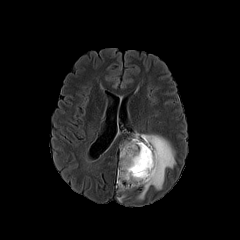
FLAIR magnetic resonance.
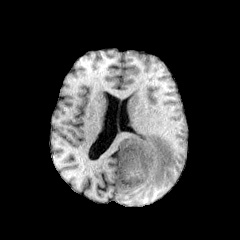
T1-weighted magnetic resonance of the same slice.
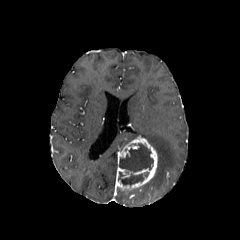
Post-contrast T1-weighted MR image.
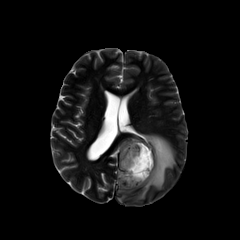
T2-weighted magnetic resonance.
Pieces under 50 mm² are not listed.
<segmentation>
  <enhancing_tumor>116,136,157,190</enhancing_tumor>
  <necrotic_tumor_core>119,143,153,172; 118,172,143,185</necrotic_tumor_core>
  <peritumoral_edema>130,133,175,199</peritumoral_edema>
</segmentation>